FLAIR MR.
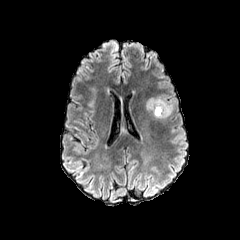
T1-weighted MRI.
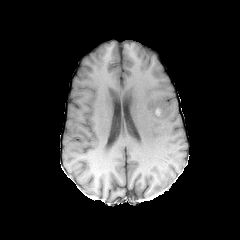
Post-contrast T1-weighted MR image.
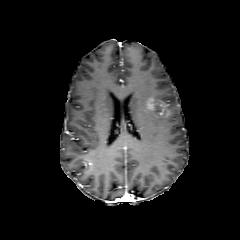
T2-weighted magnetic resonance.
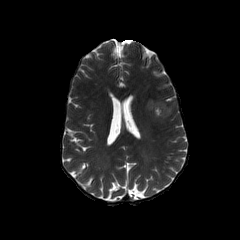
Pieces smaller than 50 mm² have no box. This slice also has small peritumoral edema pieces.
The enhancing tumor lies within <box>146,97,172,117</box>.